240x240; Slice 117 of 155; Axial plane
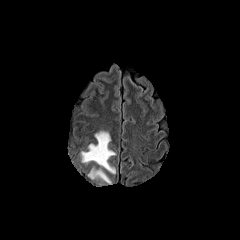
FLAIR MRI.
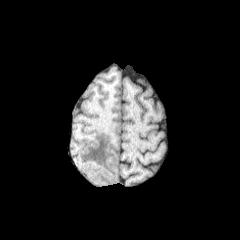
T1-weighted MRI.
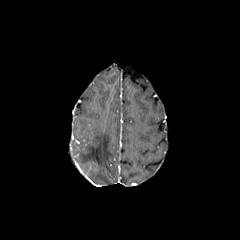
Post-contrast T1-weighted MR image of the same slice.
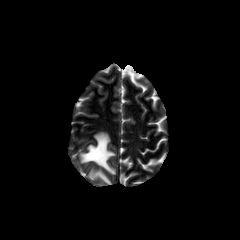
T2-weighted magnetic resonance.
peritumoral edema: {"x1": 80, "y1": 131, "x2": 115, "y2": 174}, {"x1": 88, "y1": 168, "x2": 111, "y2": 184}